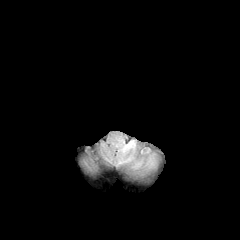
FLAIR MRI.
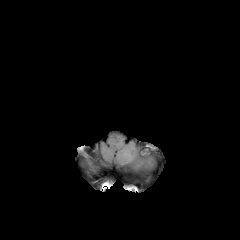
T1-weighted MR image.
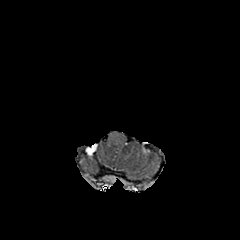
Post-contrast T1-weighted magnetic resonance of the same slice.
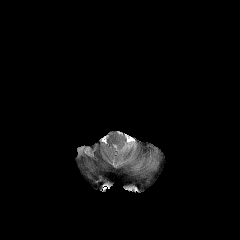
T2-weighted MRI.
Brain; Axial view
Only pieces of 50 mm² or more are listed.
The 3 largest peritumoral edema regions are located at 115:140:136:165, 147:156:154:167, 133:161:142:168.